Slice index 86
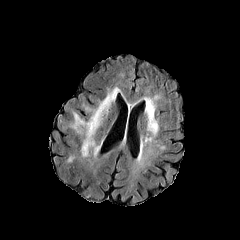
FLAIR magnetic resonance.
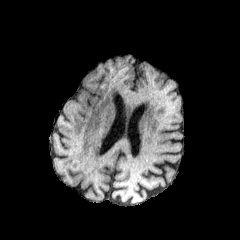
Same slice, T1-weighted MR image.
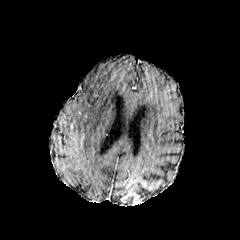
Same slice, post-contrast T1-weighted MR.
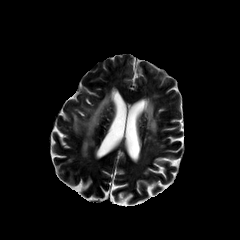
T2-weighted MR.
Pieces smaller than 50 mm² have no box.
Segmented structures:
• peritumoral edema: x1=73 y1=90 x2=111 y2=156